FLAIR MR image.
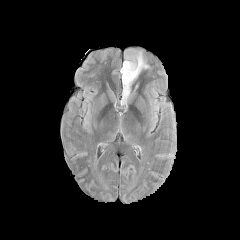
T1-weighted MRI.
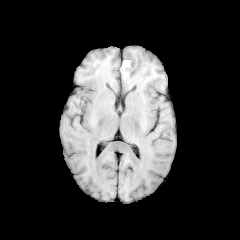
Post-contrast T1-weighted MRI.
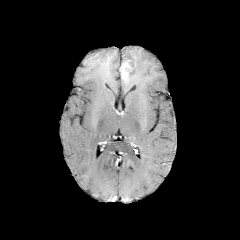
T2-weighted MRI.
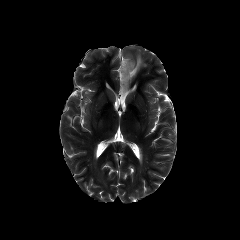
Axial slice; 240x240
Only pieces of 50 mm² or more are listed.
Findings:
* necrotic tumor core: bbox(124, 62, 132, 79)
* peritumoral edema: bbox(122, 52, 148, 97)
* enhancing tumor: bbox(121, 63, 129, 79)